Brain
FLAIR MR image.
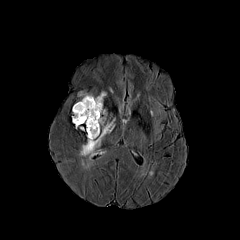
T1-weighted MR.
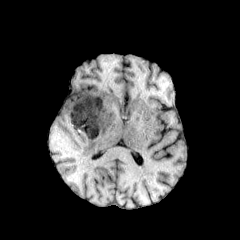
Post-contrast T1-weighted MR image.
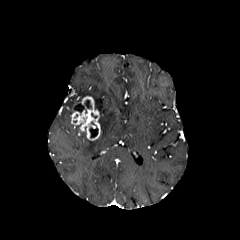
T2-weighted MR image.
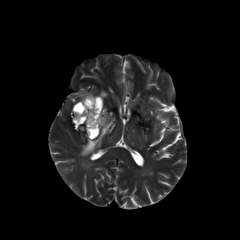
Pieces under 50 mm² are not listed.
enhancing tumor at region(71, 96, 100, 140)
necrotic tumor core at region(74, 103, 84, 112); region(89, 126, 98, 137)
peritumoral edema at region(79, 91, 114, 156)